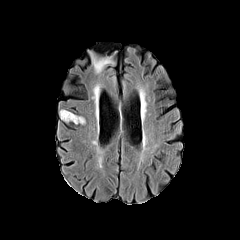
FLAIR MRI.
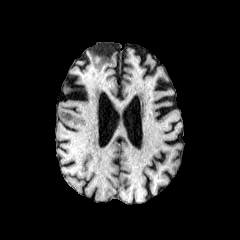
T1-weighted MR of the same slice.
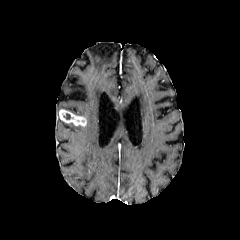
Post-contrast T1-weighted MR image.
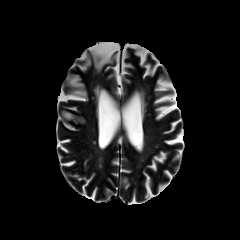
T2-weighted MR image.
Axial slice
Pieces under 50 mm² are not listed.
The largest necrotic tumor core region is located at l=61, t=113, r=73, b=120. The enhancing tumor is located at l=59, t=109, r=86, b=125.